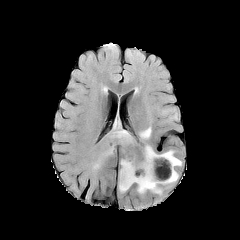
FLAIR MR image.
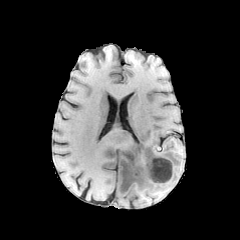
T1-weighted MR of the same slice.
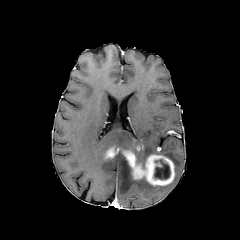
Same slice, post-contrast T1-weighted magnetic resonance.
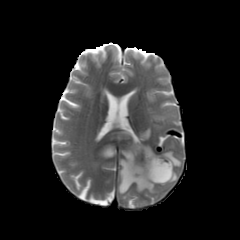
T2-weighted MR image of the same slice.
Axial view
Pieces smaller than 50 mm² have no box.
Findings:
• peritumoral edema: 112:130:138:152, 142:145:182:166, 99:145:114:160, 166:171:178:185, 119:158:161:193, 139:127:151:140
• enhancing tumor: 104:143:174:185
• necrotic tumor core: 154:159:170:179